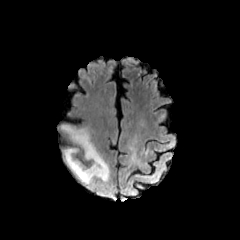
FLAIR MR image.
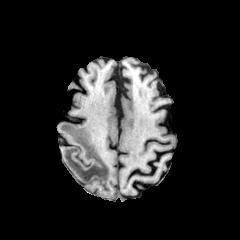
T1-weighted MR image.
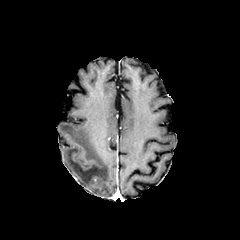
Post-contrast T1-weighted MR image of the same slice.
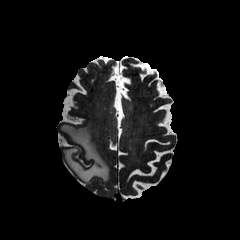
T2-weighted MR image of the same slice.
Image size 240x240
{
  "peritumoral_edema": [
    "x1=60, y1=124, x2=109, y2=184"
  ]
}